FLAIR magnetic resonance.
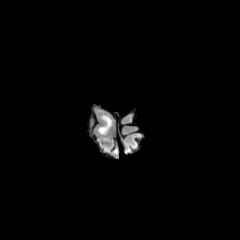
T1-weighted MR image.
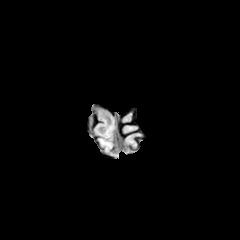
Post-contrast T1-weighted MRI.
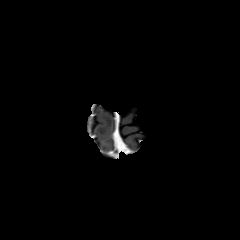
T2-weighted MR image.
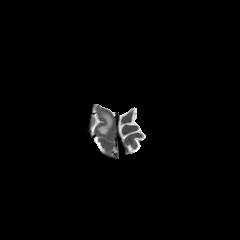
Image size 240x240
peritumoral edema: 97 113 112 134